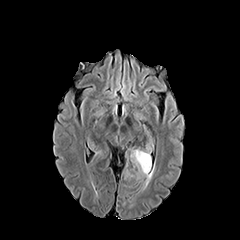
FLAIR MR.
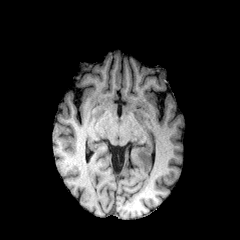
T1-weighted MRI.
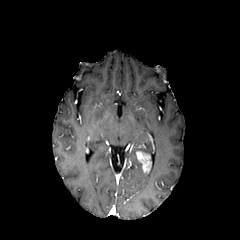
Post-contrast T1-weighted MR image.
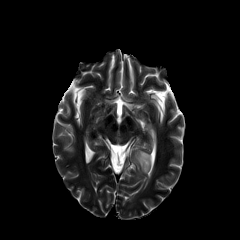
T2-weighted MRI.
Image size 240x240, Brain, Axial slice
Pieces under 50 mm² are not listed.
* enhancing tumor: 136, 151, 151, 172
* peritumoral edema: 131, 149, 154, 188